FLAIR magnetic resonance.
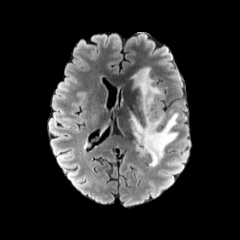
T1-weighted magnetic resonance.
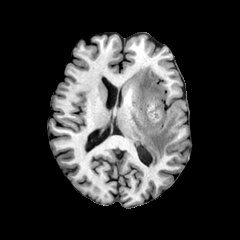
Post-contrast T1-weighted magnetic resonance.
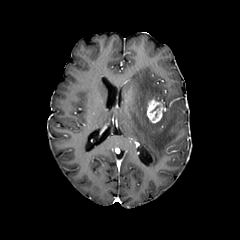
T2-weighted MRI.
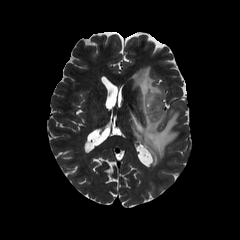
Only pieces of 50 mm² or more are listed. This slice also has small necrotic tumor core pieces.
peritumoral edema: bbox(130, 67, 178, 166) | enhancing tumor: bbox(147, 98, 163, 123)